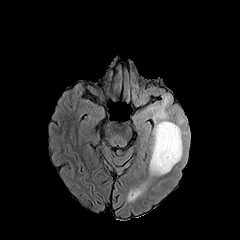
FLAIR MR.
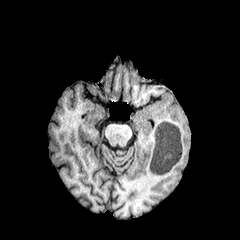
T1-weighted MRI.
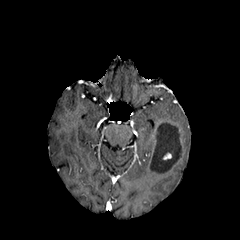
Post-contrast T1-weighted MR image of the same slice.
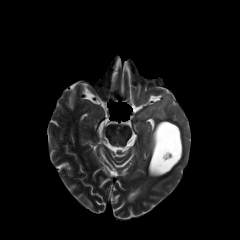
T2-weighted MRI.
Image size 240x240; Brain; Axial slice
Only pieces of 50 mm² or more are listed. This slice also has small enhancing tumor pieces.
necrotic tumor core = box(151, 122, 181, 172)
peritumoral edema = box(144, 95, 187, 175)